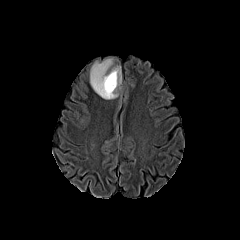
FLAIR MR.
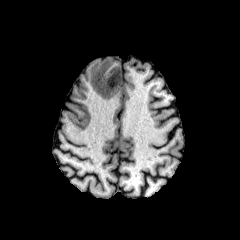
T1-weighted MR image.
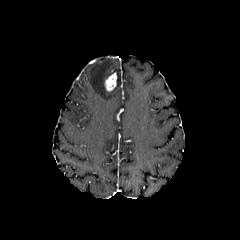
Post-contrast T1-weighted MRI.
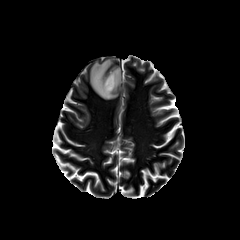
T2-weighted MR.
Brain, Axial plane, 240x240 px
Findings:
* peritumoral edema: x1=90, y1=59, x2=121, y2=99
* enhancing tumor: x1=104, y1=72, x2=116, y2=91